Axial slice, Head, Image covers 240 mm x 240 mm
FLAIR magnetic resonance.
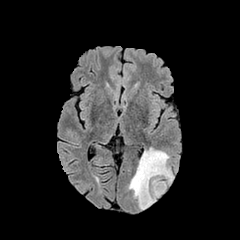
T1-weighted MR image.
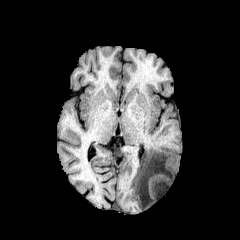
Post-contrast T1-weighted magnetic resonance.
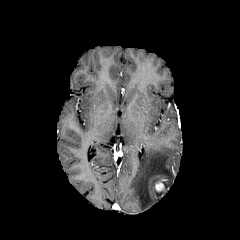
T2-weighted MR.
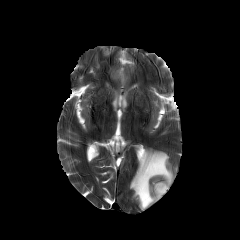
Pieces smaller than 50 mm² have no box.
peritumoral edema: bounding box 129 148 173 209
necrotic tumor core: bounding box 154 182 167 197
enhancing tumor: bounding box 155 182 164 191